FLAIR MRI.
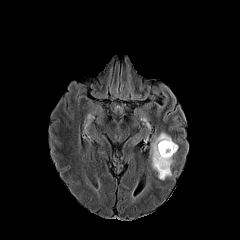
T1-weighted MR image.
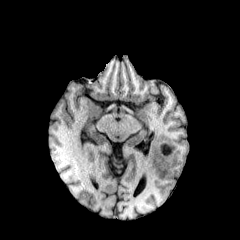
Post-contrast T1-weighted MRI.
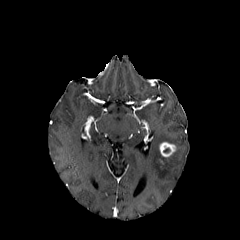
T2-weighted MR image.
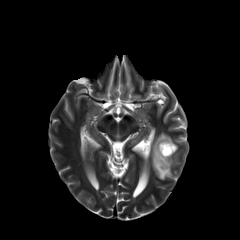
Brain, Image size 240x240
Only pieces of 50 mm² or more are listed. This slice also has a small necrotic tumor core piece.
<segmentation>
  <enhancing_tumor>box=[159, 142, 176, 157]</enhancing_tumor>
  <peritumoral_edema>box=[150, 132, 178, 180]</peritumoral_edema>
</segmentation>